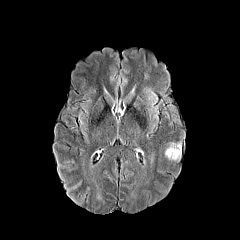
FLAIR MRI.
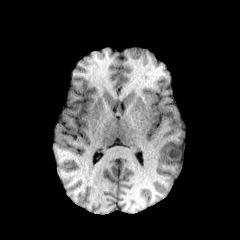
T1-weighted MR image.
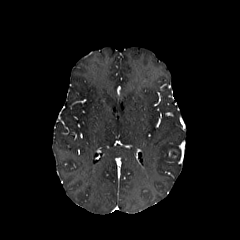
Post-contrast T1-weighted MRI of the same slice.
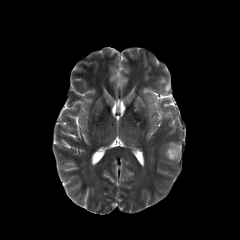
T2-weighted magnetic resonance.
Brain
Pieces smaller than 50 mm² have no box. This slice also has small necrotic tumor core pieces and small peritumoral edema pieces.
enhancing_tumor:
  - <bbox>168, 148, 178, 158</bbox>